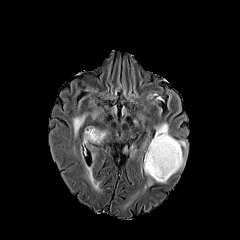
FLAIR magnetic resonance.
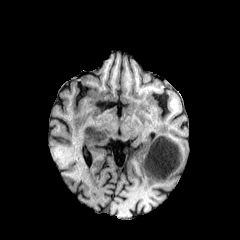
T1-weighted MR image.
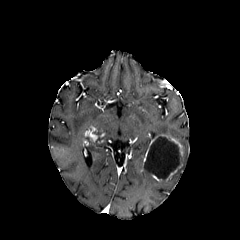
Post-contrast T1-weighted MRI.
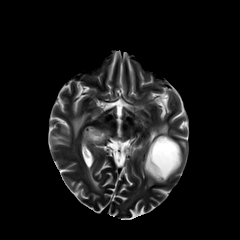
Same slice, T2-weighted magnetic resonance.
240x240 px. Brain.
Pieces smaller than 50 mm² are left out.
enhancing tumor: bounding box <bbox>143, 134, 182, 166</bbox>, <bbox>85, 126, 97, 141</bbox>, <bbox>166, 163, 182, 180</bbox>
necrotic tumor core: bounding box <bbox>144, 136, 181, 180</bbox>
peritumoral edema: bounding box <bbox>178, 140, 188, 151</bbox>, <bbox>155, 122, 173, 137</bbox>, <bbox>73, 114, 86, 135</bbox>, <bbox>130, 144, 137, 157</bbox>, <bbox>83, 131, 106, 143</bbox>, <bbox>145, 171, 153, 189</bbox>